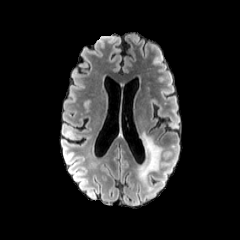
FLAIR MR image.
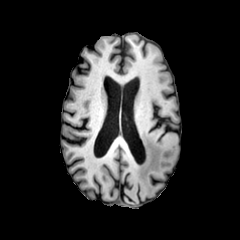
T1-weighted MR.
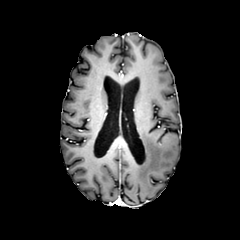
Post-contrast T1-weighted magnetic resonance.
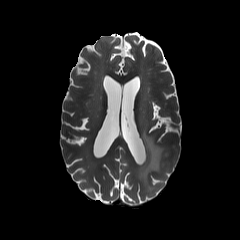
Same slice, T2-weighted MR image.
Brain. 240x240.
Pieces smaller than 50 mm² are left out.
The largest peritumoral edema region is located at box(136, 132, 162, 182).